Head. Axial slice. 240x240.
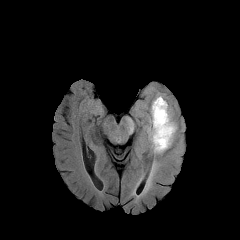
FLAIR MRI.
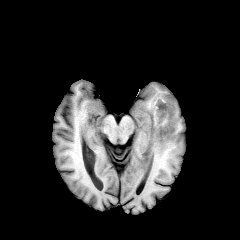
T1-weighted MR.
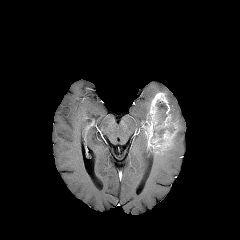
Post-contrast T1-weighted MR image.
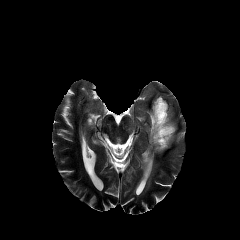
Same slice, T2-weighted MRI.
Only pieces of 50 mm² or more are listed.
The enhancing tumor is bounded by bbox=[144, 93, 177, 153]. The 3 largest peritumoral edema regions are bounded by bbox=[145, 139, 165, 190]; bbox=[126, 120, 133, 131]; bbox=[142, 100, 151, 134]. The 2 largest necrotic tumor core regions are bounded by bbox=[154, 126, 175, 137]; bbox=[156, 101, 167, 125].